Brain. 240x240.
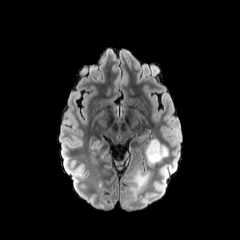
FLAIR MR.
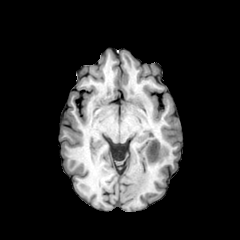
T1-weighted MRI of the same slice.
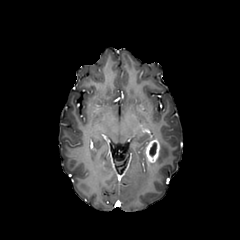
Post-contrast T1-weighted MR.
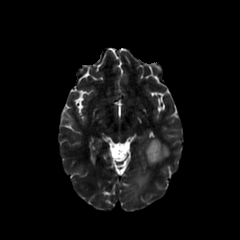
T2-weighted MR.
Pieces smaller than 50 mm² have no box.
peritumoral edema: 125,169,149,199; 155,141,168,162
necrotic tumor core: 149,142,156,156
enhancing tumor: 145,139,160,162